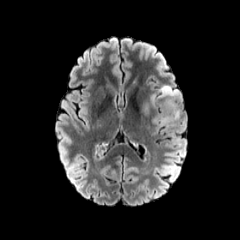
FLAIR MRI.
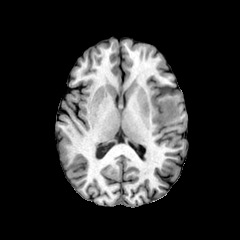
T1-weighted MR.
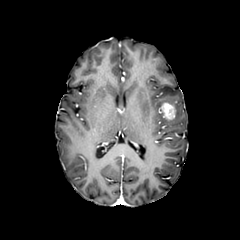
Post-contrast T1-weighted MR image of the same slice.
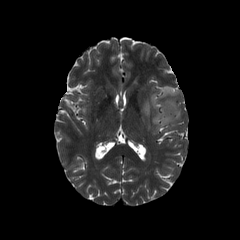
T2-weighted magnetic resonance.
Image size 240x240; Axial slice
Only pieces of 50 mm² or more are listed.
peritumoral edema — 151,85,181,126
enhancing tumor — 160,102,175,120